Brain | Image size 240x240
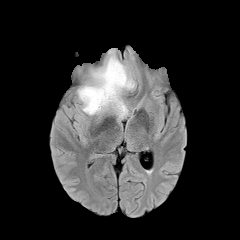
FLAIR MRI.
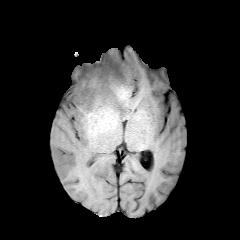
T1-weighted MR.
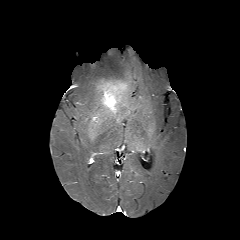
Same slice, post-contrast T1-weighted MR.
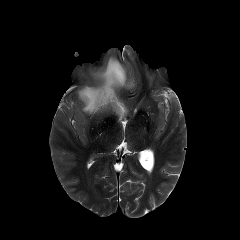
T2-weighted MRI of the same slice.
peritumoral_edema:
  - left=77, top=50, right=134, bottom=121
enhancing_tumor:
  - left=101, top=82, right=125, bottom=111